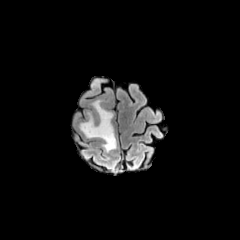
FLAIR magnetic resonance.
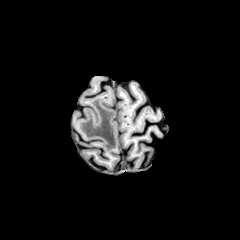
T1-weighted MR.
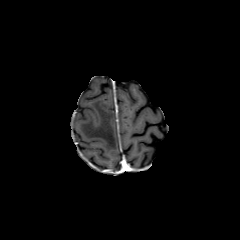
Post-contrast T1-weighted MR of the same slice.
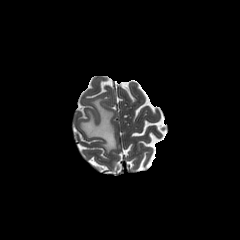
Same slice, T2-weighted magnetic resonance.
Axial plane
peritumoral edema: (left=79, top=99, right=116, bottom=152)